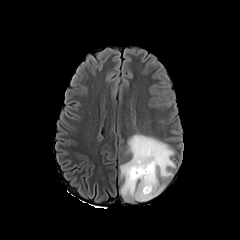
FLAIR magnetic resonance.
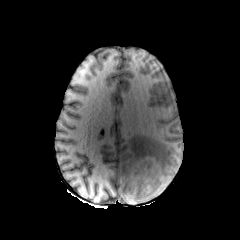
T1-weighted MR.
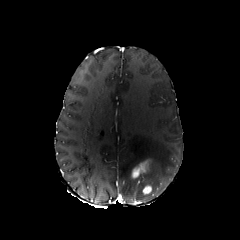
Post-contrast T1-weighted MRI.
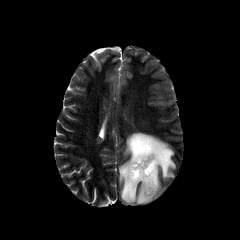
T2-weighted magnetic resonance of the same slice.
Brain
enhancing_tumor:
  - x1=131, y1=159, x2=150, y2=178
  - x1=142, y1=185, x2=151, y2=194
peritumoral_edema:
  - x1=119, y1=133, x2=175, y2=200